FLAIR MR.
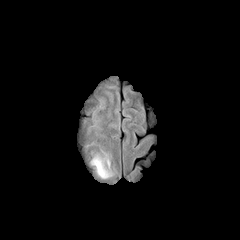
T1-weighted MR.
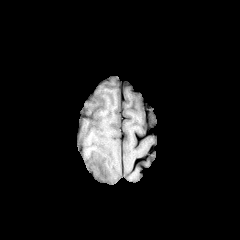
Post-contrast T1-weighted MR image.
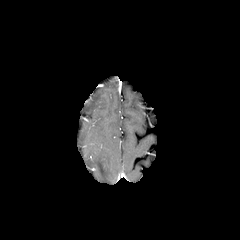
T2-weighted MR image.
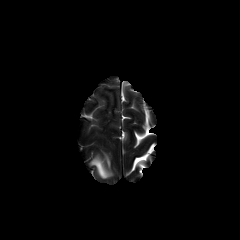
Axial slice | Head | Image size 240x240
The peritumoral edema lies within [91,153,112,178].